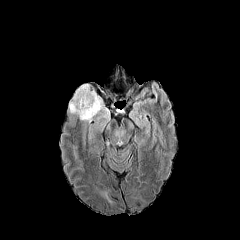
FLAIR MRI.
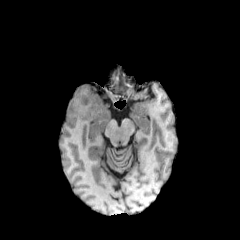
Same slice, T1-weighted MR image.
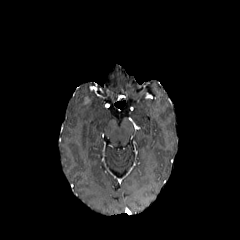
Post-contrast T1-weighted MR.
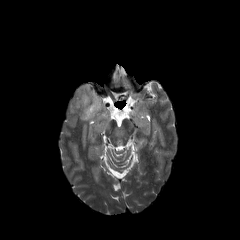
T2-weighted MR.
240x240. Axial slice. Brain.
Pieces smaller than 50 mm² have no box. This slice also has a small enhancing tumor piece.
peritumoral edema: [x1=67, y1=83, x2=109, y2=131]